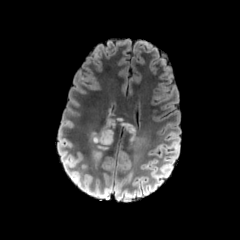
FLAIR MR.
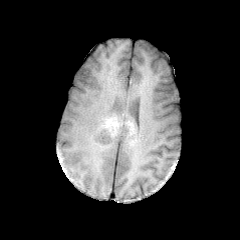
Same slice, T1-weighted MR image.
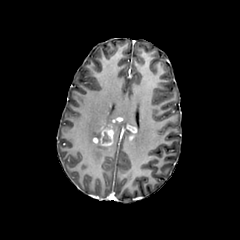
Post-contrast T1-weighted MR image.
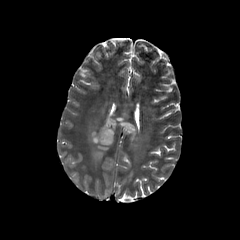
T2-weighted MRI.
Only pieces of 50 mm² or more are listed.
necrotic tumor core: <bbox>103, 132, 110, 142</bbox> | enhancing tumor: <bbox>122, 123, 136, 140</bbox>, <bbox>93, 121, 115, 146</bbox> | peritumoral edema: <bbox>106, 116, 126, 132</bbox>, <bbox>128, 133, 150, 159</bbox>, <bbox>89, 131, 110, 168</bbox>